FLAIR MR image.
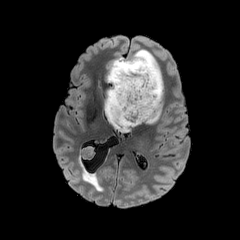
T1-weighted MR image.
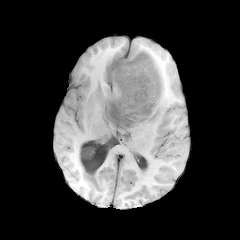
Post-contrast T1-weighted MR.
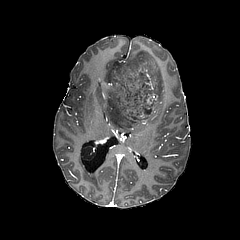
T2-weighted magnetic resonance.
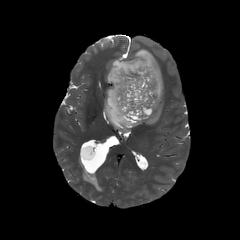
240x240 px, Axial slice, Brain
The necrotic tumor core lies within 109, 54, 159, 127. The peritumoral edema lies within 104, 49, 162, 132.